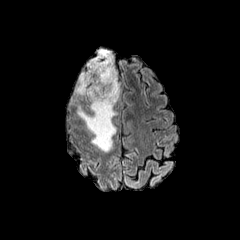
FLAIR MRI.
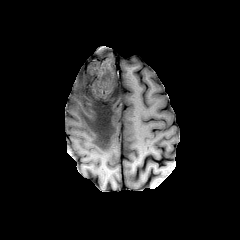
T1-weighted MR of the same slice.
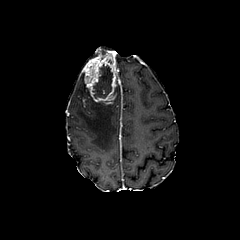
Same slice, post-contrast T1-weighted MRI.
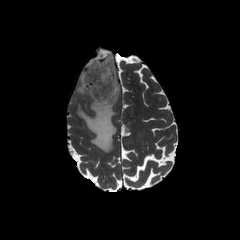
T2-weighted MRI.
Brain | Axial plane
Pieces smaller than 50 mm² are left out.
<segmentation>
  <enhancing_tumor>82,52,118,104</enhancing_tumor>
  <peritumoral_edema>75,71,120,152; 85,49,110,69</peritumoral_edema>
  <necrotic_tumor_core>92,64,112,98</necrotic_tumor_core>
</segmentation>